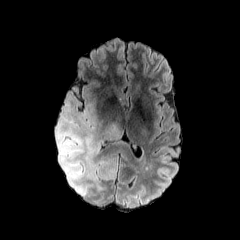
FLAIR magnetic resonance.
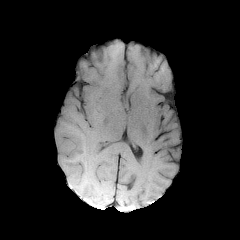
T1-weighted MR.
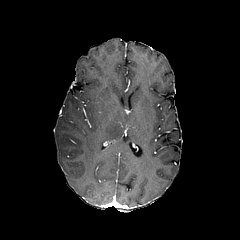
Same slice, post-contrast T1-weighted MR image.
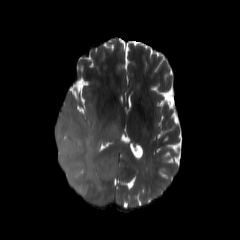
T2-weighted MR of the same slice.
Axial view, Brain
peritumoral_edema:
  - rect(55, 91, 123, 196)